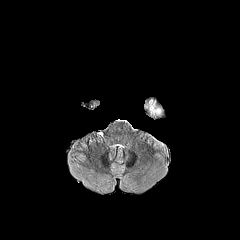
FLAIR MRI.
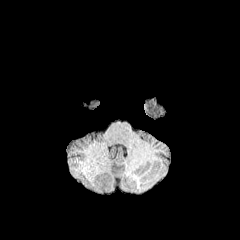
T1-weighted MR image.
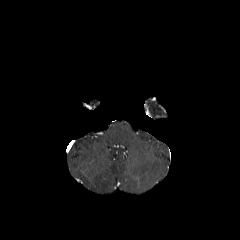
Post-contrast T1-weighted magnetic resonance of the same slice.
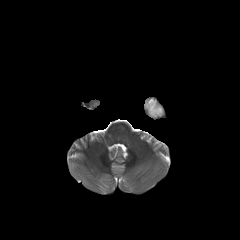
T2-weighted MR.
Brain
The peritumoral edema appears at 148 101 161 114.